FLAIR MRI.
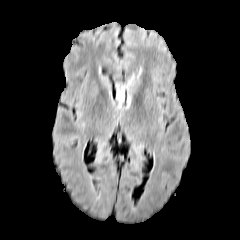
T1-weighted MR image.
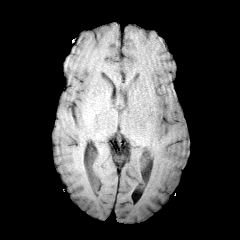
Post-contrast T1-weighted MR.
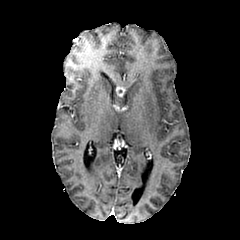
T2-weighted MR image.
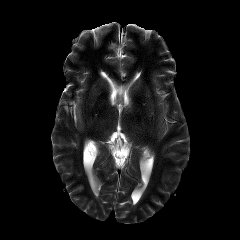
Brain; Axial plane
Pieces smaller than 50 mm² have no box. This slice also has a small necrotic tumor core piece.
The enhancing tumor is located at 116:86:125:96. The largest peritumoral edema region is located at 116:95:123:105.